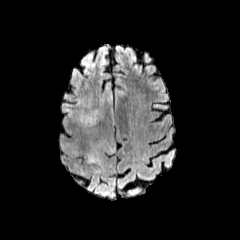
FLAIR MRI.
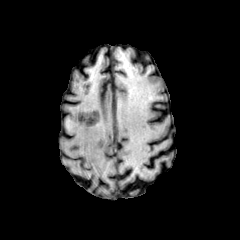
T1-weighted MR image.
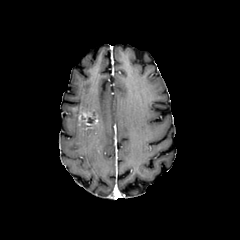
Post-contrast T1-weighted magnetic resonance of the same slice.
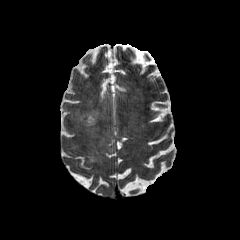
T2-weighted MR image.
Axial view; Head
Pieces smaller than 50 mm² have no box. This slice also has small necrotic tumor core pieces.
peritumoral edema: 88, 141, 111, 163 | enhancing tumor: 78, 110, 98, 127